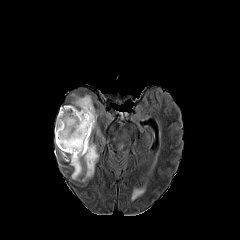
FLAIR MRI.
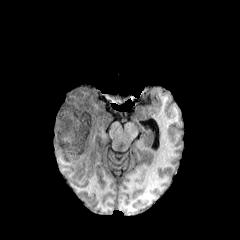
T1-weighted magnetic resonance of the same slice.
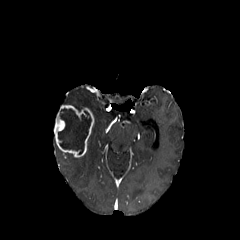
Post-contrast T1-weighted MRI of the same slice.
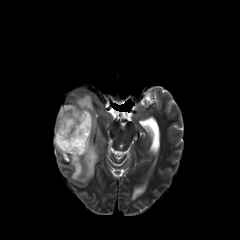
Same slice, T2-weighted magnetic resonance.
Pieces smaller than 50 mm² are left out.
peritumoral_edema:
  - x1=72, y1=94, x2=100, y2=136
  - x1=59, y1=137, x2=98, y2=182
  - x1=130, y1=184, x2=146, y2=202
enhancing_tumor:
  - x1=54, y1=105, x2=94, y2=157
necrotic_tumor_core:
  - x1=58, y1=108, x2=91, y2=154